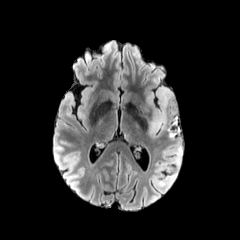
FLAIR magnetic resonance.
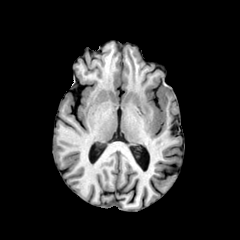
T1-weighted magnetic resonance of the same slice.
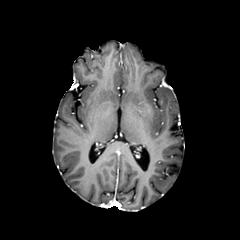
Same slice, post-contrast T1-weighted MR image.
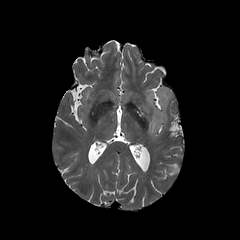
T2-weighted MR.
Axial plane
peritumoral edema = <box>147,86,172,135</box>